FLAIR MR.
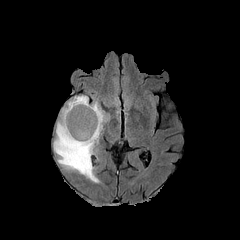
T1-weighted MR image.
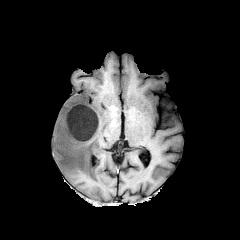
Post-contrast T1-weighted magnetic resonance.
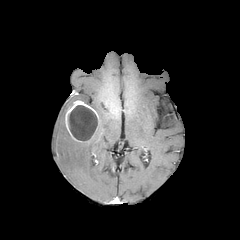
T2-weighted MR image.
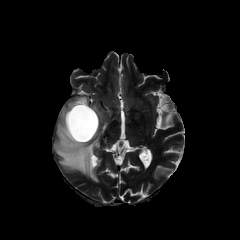
Axial plane
peritumoral edema: bounding box rect(53, 95, 107, 182)
necrotic tumor core: bounding box rect(68, 105, 97, 141)
enhancing tumor: bounding box rect(65, 100, 99, 142)